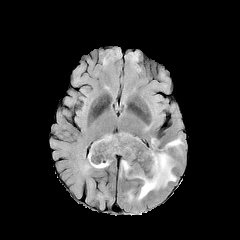
FLAIR MR image.
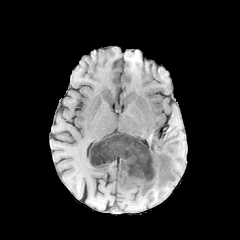
T1-weighted MR.
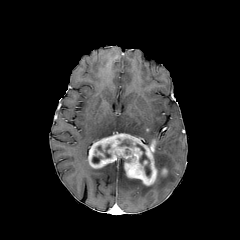
Post-contrast T1-weighted MR image.
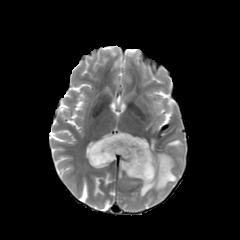
T2-weighted MRI.
Brain
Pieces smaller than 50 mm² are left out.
enhancing tumor: rect(88, 133, 157, 185) | peritumoral edema: rect(137, 152, 176, 199); rect(166, 139, 181, 147); rect(119, 160, 125, 177) | necrotic tumor core: rect(137, 144, 151, 177); rect(92, 156, 102, 163)